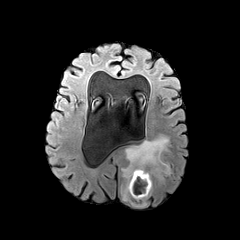
FLAIR magnetic resonance.
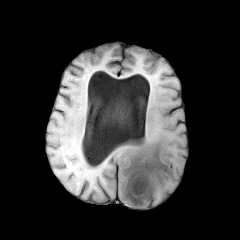
T1-weighted MR image.
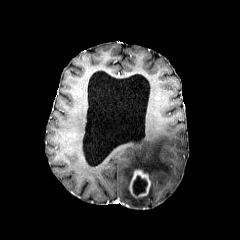
Post-contrast T1-weighted magnetic resonance.
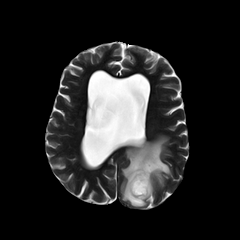
Same slice, T2-weighted MR image.
240x240. Head.
{
  "necrotic_tumor_core": [
    "left=133, top=176, right=147, bottom=194"
  ],
  "enhancing_tumor": [
    "left=129, top=169, right=150, bottom=197"
  ],
  "peritumoral_edema": [
    "left=122, top=136, right=170, bottom=206"
  ]
}